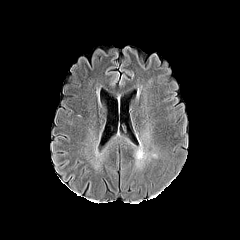
FLAIR MRI.
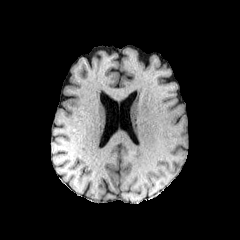
T1-weighted magnetic resonance.
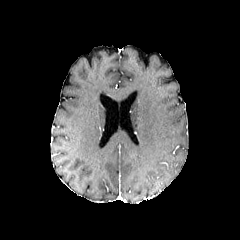
Same slice, post-contrast T1-weighted MR image.
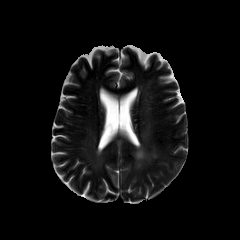
T2-weighted MRI.
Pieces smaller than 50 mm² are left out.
<segmentation>
  <peritumoral_edema>[x1=133, y1=146, x2=147, y2=166]</peritumoral_edema>
</segmentation>